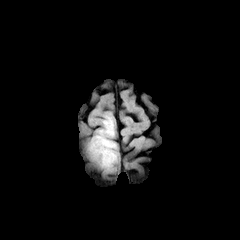
FLAIR magnetic resonance.
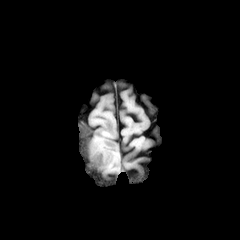
T1-weighted MR.
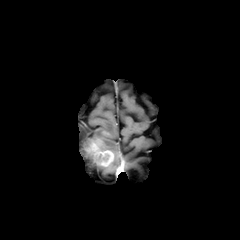
Same slice, post-contrast T1-weighted MR image.
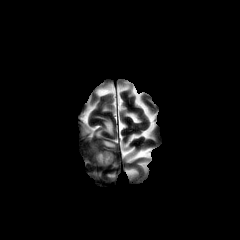
Same slice, T2-weighted magnetic resonance.
Head
peritumoral edema: (x1=94, y1=117, x2=116, y2=165) | enhancing tumor: (x1=86, y1=140, x2=113, y2=166)